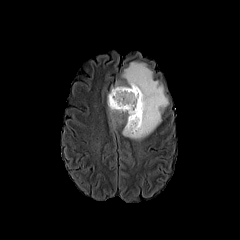
FLAIR MRI.
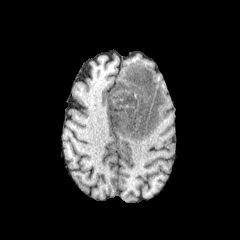
T1-weighted MR image of the same slice.
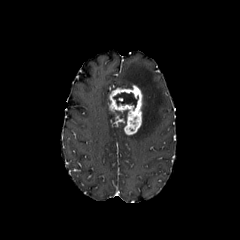
Same slice, post-contrast T1-weighted MRI.
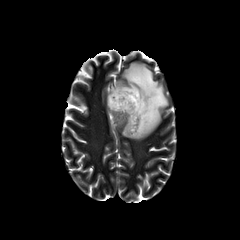
T2-weighted magnetic resonance.
Brain; Image size 240x240; Axial slice
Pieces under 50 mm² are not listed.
enhancing tumor: bounding box box(108, 85, 142, 135)
necrotic tumor core: bounding box box(113, 92, 138, 109)
peritumoral edema: bounding box box(109, 61, 170, 140); box(108, 110, 119, 130)